FLAIR MR.
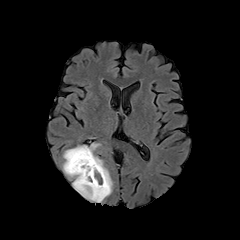
T1-weighted MR image.
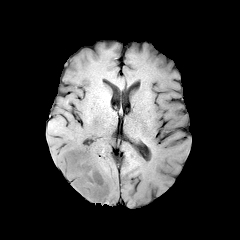
Post-contrast T1-weighted MR.
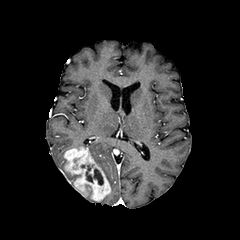
T2-weighted MR image.
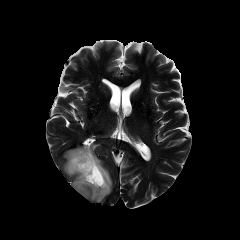
Axial plane; Head
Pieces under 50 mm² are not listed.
The 3 largest peritumoral edema regions are located at left=62, top=160, right=80, bottom=181; left=86, top=189, right=103, bottom=202; left=88, top=143, right=112, bottom=192. The enhancing tumor lies within left=64, top=147, right=110, bottom=201. The largest necrotic tumor core region is bounded by left=86, top=165, right=103, bottom=185.